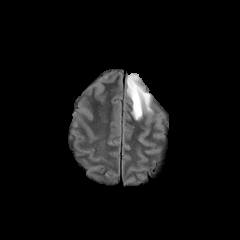
FLAIR MR image.
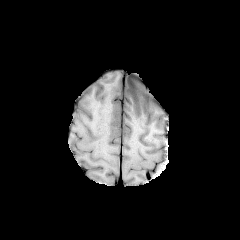
T1-weighted MR.
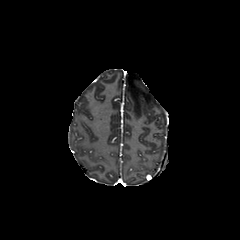
Post-contrast T1-weighted MR of the same slice.
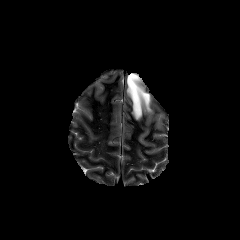
T2-weighted MRI.
Axial slice, 240x240, Head
peritumoral edema: x1=127 y1=74 x2=151 y2=119